FLAIR MR image.
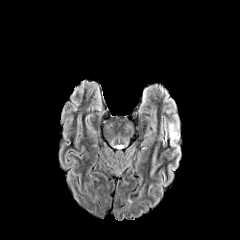
T1-weighted MRI.
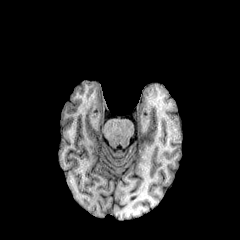
Post-contrast T1-weighted MRI.
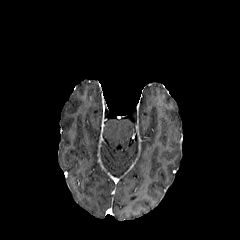
T2-weighted magnetic resonance.
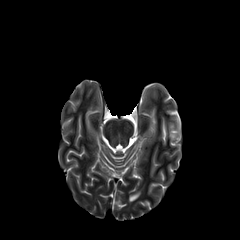
Axial plane, 240x240
* peritumoral edema: [169, 124, 179, 141]